FLAIR magnetic resonance.
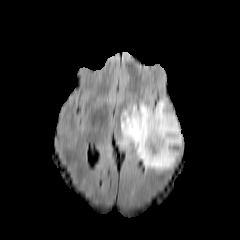
T1-weighted MR image.
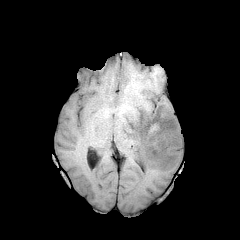
Post-contrast T1-weighted magnetic resonance.
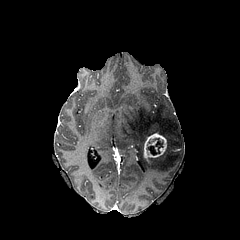
T2-weighted magnetic resonance.
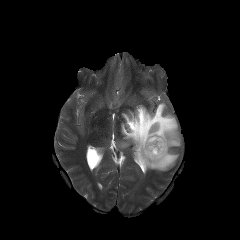
Image size 240x240
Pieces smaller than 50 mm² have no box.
{"enhancing_tumor": ["region(143, 133, 167, 161)"], "peritumoral_edema": ["region(118, 99, 181, 171)"], "necrotic_tumor_core": ["region(147, 138, 163, 154)"]}